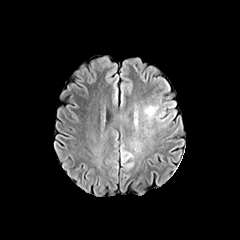
FLAIR magnetic resonance.
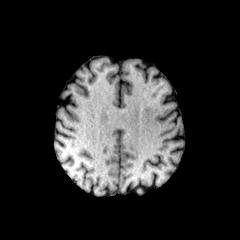
T1-weighted MRI of the same slice.
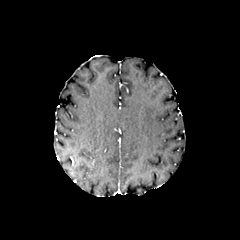
Post-contrast T1-weighted MR.
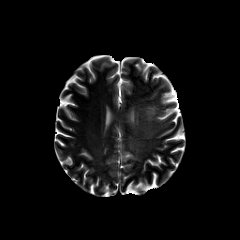
T2-weighted MRI.
Brain | Axial plane
peritumoral edema: <bbox>144, 105, 158, 123</bbox>